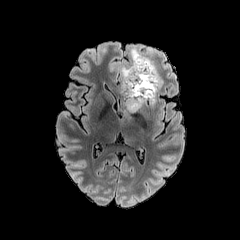
FLAIR magnetic resonance.
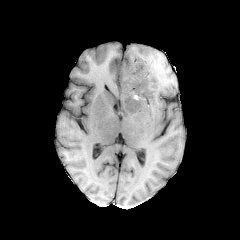
Same slice, T1-weighted MRI.
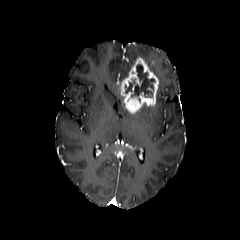
Same slice, post-contrast T1-weighted magnetic resonance.
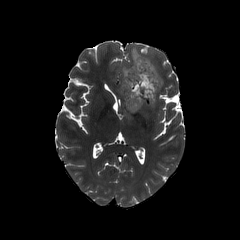
T2-weighted MR.
Image size 240x240, Axial plane
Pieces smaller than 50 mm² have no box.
The 2 largest necrotic tumor core regions are bounded by region(125, 82, 132, 93); region(131, 64, 154, 96). The enhancing tumor lies within region(119, 57, 159, 113). The largest peritumoral edema region appears at region(119, 45, 163, 93).